240x240. Brain.
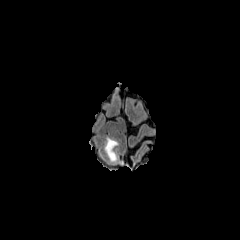
FLAIR MR image.
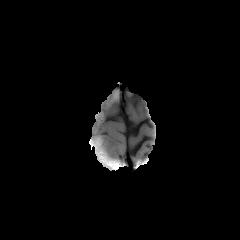
T1-weighted MR of the same slice.
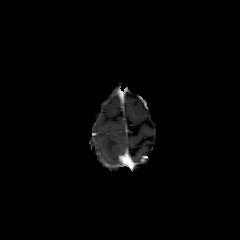
Post-contrast T1-weighted MR image.
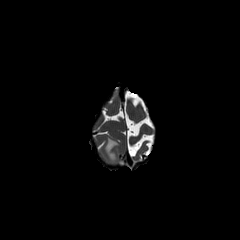
T2-weighted MR image.
peritumoral_edema:
  - box=[104, 137, 118, 163]